Slice 33 of 155, Image covers 240 mm x 240 mm, Head
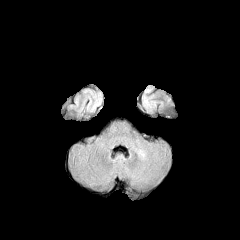
FLAIR MR.
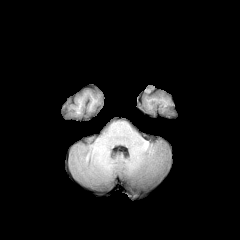
T1-weighted MRI.
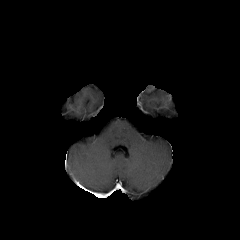
Same slice, post-contrast T1-weighted magnetic resonance.
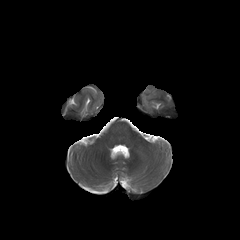
T2-weighted MRI of the same slice.
peritumoral edema: bounding box (left=143, top=89, right=151, bottom=113)